FLAIR MRI.
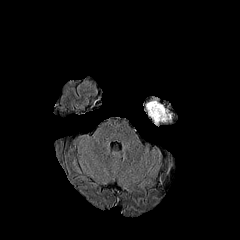
T1-weighted magnetic resonance.
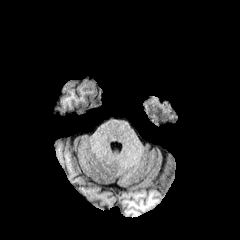
Post-contrast T1-weighted MRI.
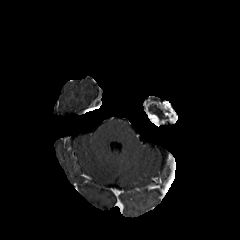
T2-weighted MRI.
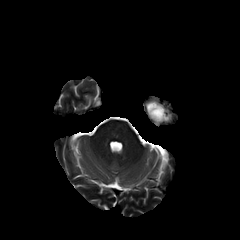
240x240; Axial view
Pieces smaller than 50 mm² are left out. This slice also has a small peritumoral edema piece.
enhancing tumor: bounding box region(144, 101, 173, 126)
necrotic tumor core: bounding box region(148, 104, 168, 120)